Slice 42/155
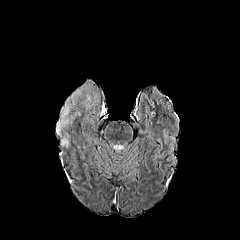
FLAIR magnetic resonance.
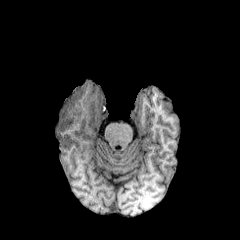
Same slice, T1-weighted MR image.
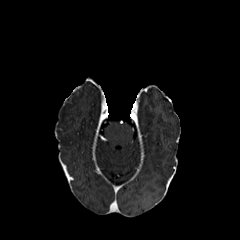
Post-contrast T1-weighted magnetic resonance of the same slice.
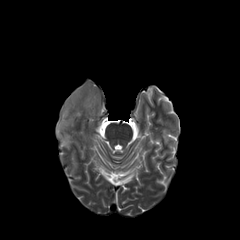
T2-weighted MR of the same slice.
<segmentation>
  <peritumoral_edema>{"x1": 84, "y1": 92, "x2": 99, "y2": 109}, {"x1": 61, "y1": 132, "x2": 70, "y2": 148}, {"x1": 57, "y1": 86, "x2": 88, "y2": 136}</peritumoral_edema>
</segmentation>